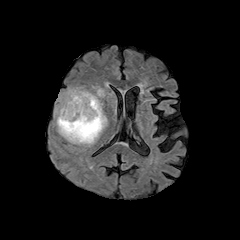
FLAIR MRI.
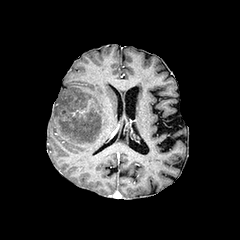
T1-weighted MR.
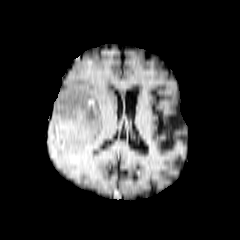
Post-contrast T1-weighted magnetic resonance.
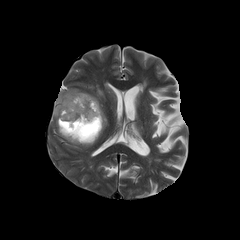
Same slice, T2-weighted MR.
Head; Axial plane
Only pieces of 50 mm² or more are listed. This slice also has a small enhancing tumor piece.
necrotic tumor core = <box>59,113,100,139</box>
peritumoral edema = <box>54,86,107,146</box>